Axial plane | Brain | Slice 88 of 155
FLAIR MRI.
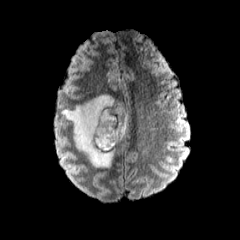
T1-weighted MR image.
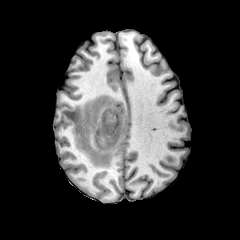
Post-contrast T1-weighted MR image.
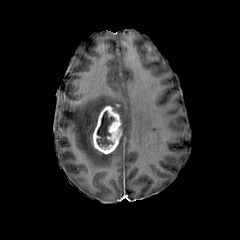
T2-weighted magnetic resonance.
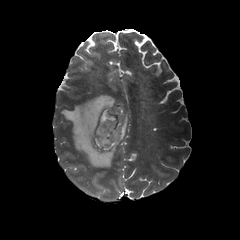
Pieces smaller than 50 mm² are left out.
{"peritumoral_edema": ["rect(62, 94, 127, 167)"], "necrotic_tumor_core": ["rect(96, 110, 116, 149)"], "enhancing_tumor": ["rect(92, 106, 123, 154)"]}